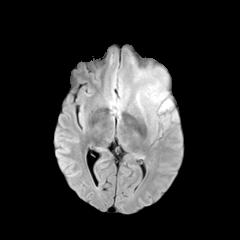
FLAIR MR image.
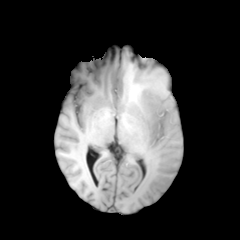
T1-weighted MR image of the same slice.
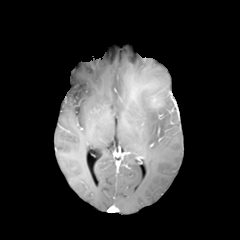
Post-contrast T1-weighted MRI of the same slice.
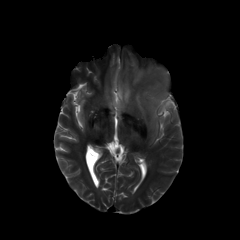
T2-weighted MR of the same slice.
240x240 px.
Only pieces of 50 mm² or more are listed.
peritumoral edema: [x1=144, y1=82, x2=172, y2=112]